FLAIR MR.
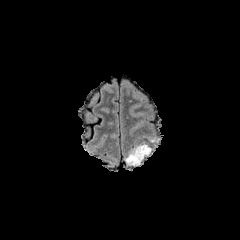
T1-weighted MR.
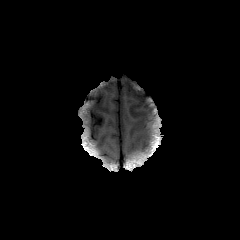
Post-contrast T1-weighted MR.
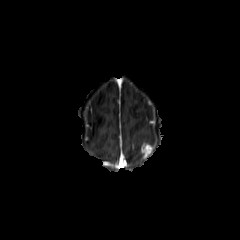
T2-weighted MR.
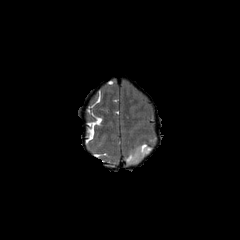
Axial plane
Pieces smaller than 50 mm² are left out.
The enhancing tumor is bounded by 141,142,152,157. The largest peritumoral edema region is bounded by 126,142,143,164.